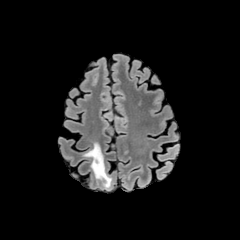
FLAIR MR.
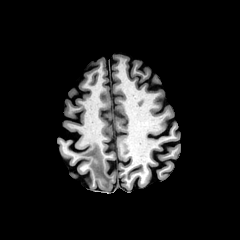
T1-weighted MRI.
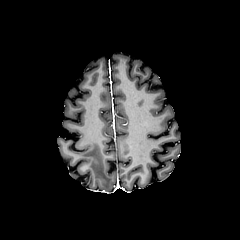
Post-contrast T1-weighted magnetic resonance.
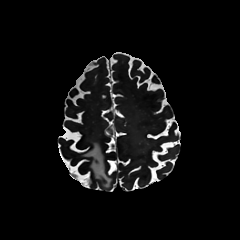
T2-weighted MR of the same slice.
240x240 px. Axial slice.
The peritumoral edema is at 83, 143, 111, 187.